FLAIR MR.
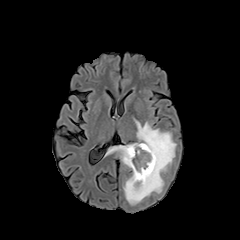
T1-weighted MR.
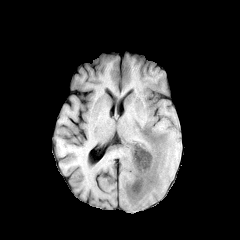
Post-contrast T1-weighted MR.
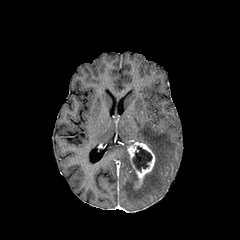
T2-weighted MRI.
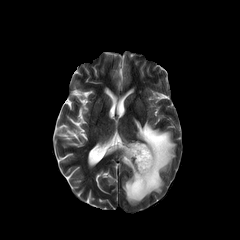
Image size 240x240. Brain. Axial plane.
peritumoral_edema:
  - region(109, 120, 176, 204)
enhancing_tumor:
  - region(127, 142, 155, 189)
necrotic_tumor_core:
  - region(132, 146, 152, 171)